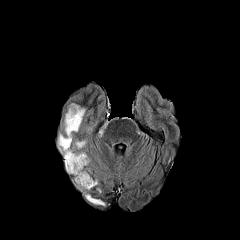
FLAIR magnetic resonance.
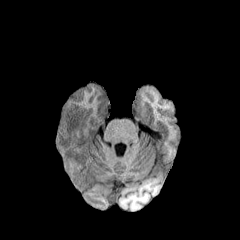
T1-weighted MR of the same slice.
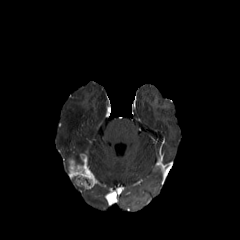
Post-contrast T1-weighted MR of the same slice.
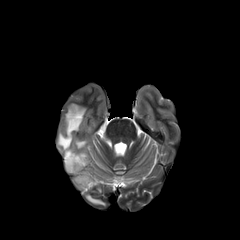
T2-weighted magnetic resonance.
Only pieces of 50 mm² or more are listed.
Annotated regions:
• necrotic tumor core: left=73, top=154, right=83, bottom=164
• enhancing tumor: left=68, top=153, right=97, bottom=189
• peritumoral edema: left=86, top=194, right=104, bottom=205; left=75, top=140, right=86, bottom=149; left=58, top=103, right=85, bottom=171